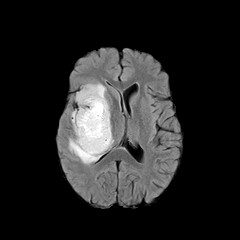
FLAIR MRI.
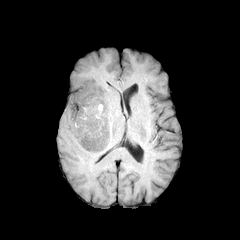
T1-weighted MRI of the same slice.
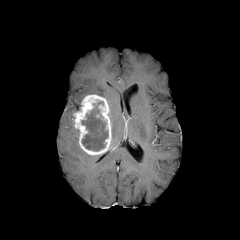
Post-contrast T1-weighted MRI.
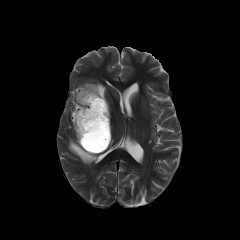
T2-weighted magnetic resonance.
Brain | 240x240
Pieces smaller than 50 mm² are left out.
necrotic tumor core at (x1=81, y1=102, x2=108, y2=150)
peritumoral edema at (x1=69, y1=119, x2=99, y2=164), (x1=75, y1=82, x2=106, y2=107)
enhancing tumor at (x1=72, y1=94, x2=111, y2=155)